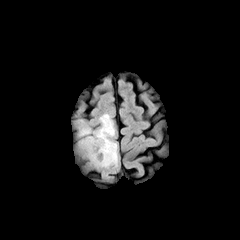
FLAIR MR.
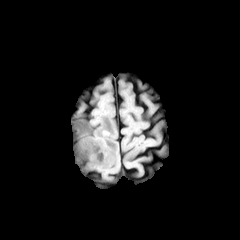
T1-weighted magnetic resonance.
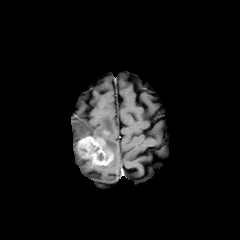
Post-contrast T1-weighted magnetic resonance of the same slice.
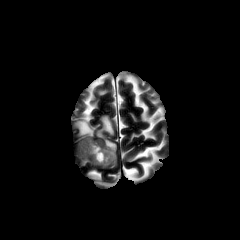
Same slice, T2-weighted MRI.
240x240 px; Axial view; Brain
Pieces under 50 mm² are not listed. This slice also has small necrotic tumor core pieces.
enhancing tumor: (77, 136, 113, 165)
peritumoral edema: (76, 114, 117, 167)